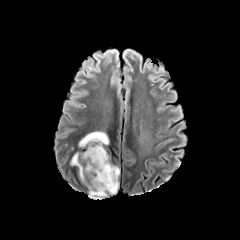
FLAIR MR.
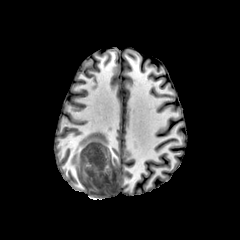
T1-weighted MR of the same slice.
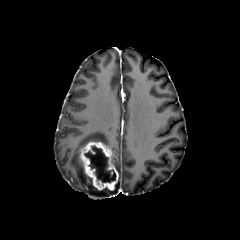
Post-contrast T1-weighted magnetic resonance.
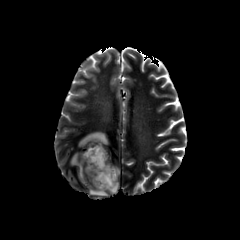
T2-weighted MR image.
Brain
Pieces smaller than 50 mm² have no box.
peritumoral edema = region(87, 181, 119, 197); region(79, 132, 109, 147); region(70, 152, 85, 183)
enhancing tumor = region(80, 142, 118, 190)
necrotic tumor core = region(85, 146, 115, 183)